FLAIR magnetic resonance.
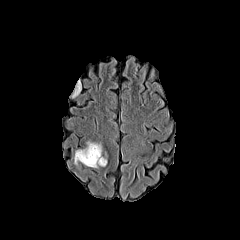
T1-weighted MR.
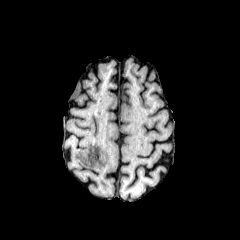
Post-contrast T1-weighted magnetic resonance.
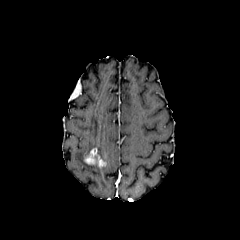
T2-weighted MRI.
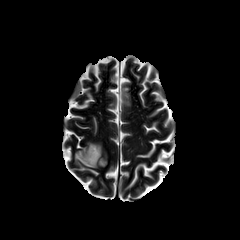
240x240 px
enhancing tumor — (x1=84, y1=148, x2=106, y2=167)
peritumoral edema — (x1=101, y1=151, x2=108, y2=163), (x1=73, y1=140, x2=103, y2=167)